Brain
FLAIR MR.
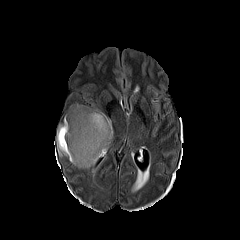
T1-weighted magnetic resonance.
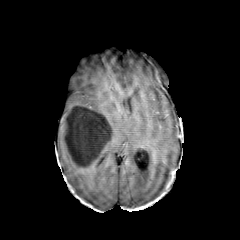
Post-contrast T1-weighted magnetic resonance.
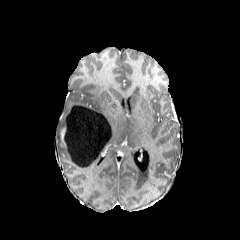
T2-weighted MR.
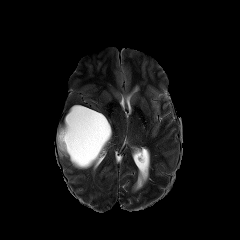
Findings:
* enhancing tumor: (61, 127, 65, 143)
* necrotic tumor core: (64, 105, 111, 166)
* peritumoral edema: (68, 103, 113, 149), (57, 114, 100, 168)